FLAIR magnetic resonance.
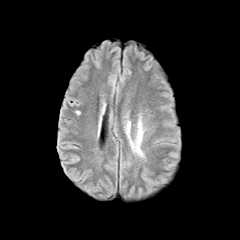
T1-weighted MRI.
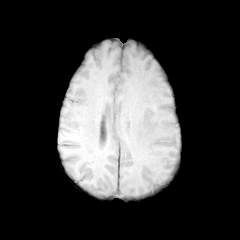
Post-contrast T1-weighted MR.
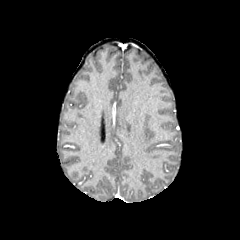
T2-weighted MRI.
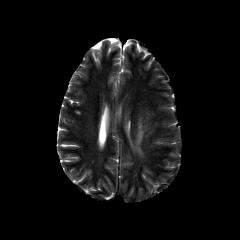
Axial slice. Head.
<segmentation>
  <peritumoral_edema>[131,116,143,155]</peritumoral_edema>
</segmentation>